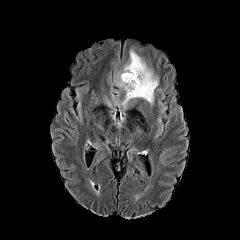
FLAIR MR image.
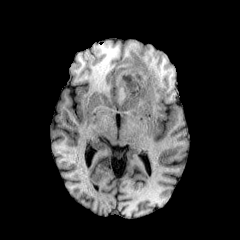
T1-weighted MR image of the same slice.
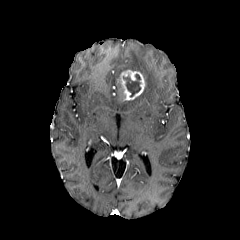
Post-contrast T1-weighted MR image.
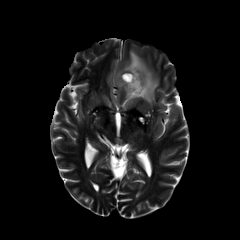
T2-weighted MR image.
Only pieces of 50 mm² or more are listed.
necrotic tumor core = (123, 74, 140, 96)
peritumoral edema = (123, 50, 158, 103)
enhancing tumor = (119, 70, 145, 100)